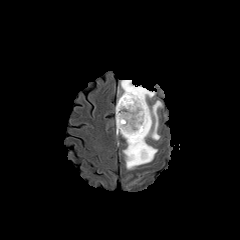
FLAIR MR.
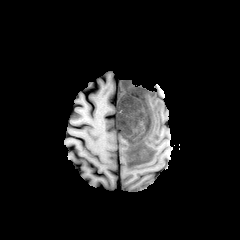
T1-weighted magnetic resonance of the same slice.
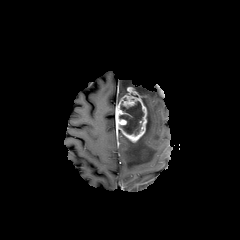
Same slice, post-contrast T1-weighted magnetic resonance.
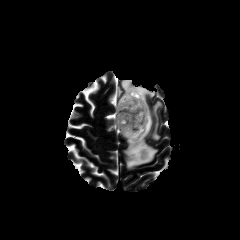
Same slice, T2-weighted MR image.
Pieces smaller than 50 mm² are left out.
2 enhancing tumor regions are bounded by rect(116, 87, 147, 142); rect(140, 149, 147, 160). The largest necrotic tumor core region is bounded by rect(119, 101, 143, 134). The largest peritumoral edema region is at rect(116, 80, 162, 169).